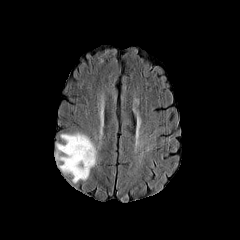
FLAIR MRI.
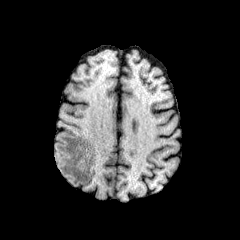
T1-weighted MR of the same slice.
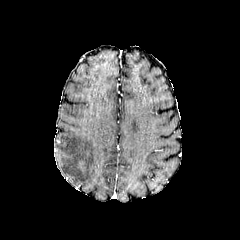
Post-contrast T1-weighted MR.
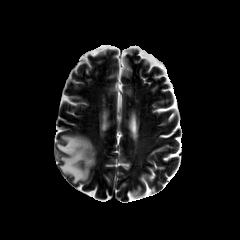
T2-weighted MRI.
peritumoral_edema:
  - <bbox>56, 133, 96, 183</bbox>